Slice 92 of 155, Axial plane
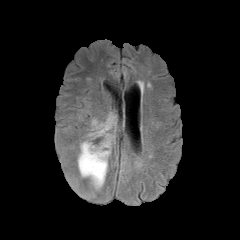
FLAIR MRI.
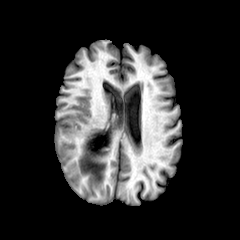
T1-weighted MR image of the same slice.
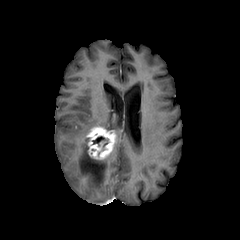
Post-contrast T1-weighted MR image of the same slice.
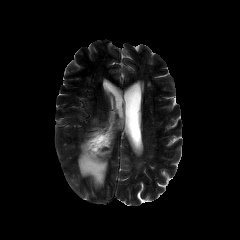
T2-weighted MRI.
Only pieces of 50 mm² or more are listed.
Annotated regions:
- enhancing tumor: 87:127:115:159
- peritumoral edema: 91:112:116:132, 77:138:110:189
- necrotic tumor core: 92:136:105:144